Axial slice, Brain
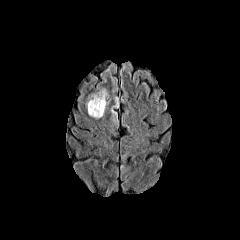
FLAIR MRI.
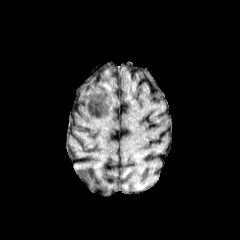
T1-weighted magnetic resonance.
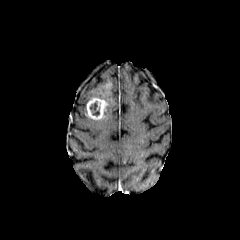
Same slice, post-contrast T1-weighted MR.
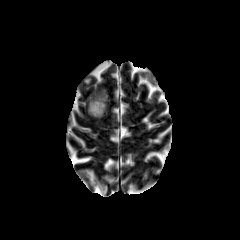
T2-weighted MRI.
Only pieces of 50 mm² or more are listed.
peritumoral edema = l=110, t=97, r=119, b=121
enhancing tumor = l=86, t=90, r=108, b=119
necrotic tumor core = l=90, t=103, r=99, b=115